FLAIR magnetic resonance.
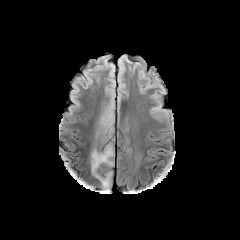
T1-weighted MRI.
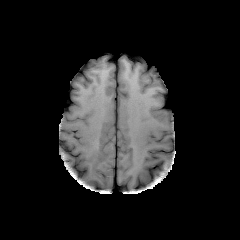
Post-contrast T1-weighted magnetic resonance.
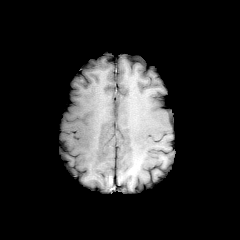
T2-weighted MR image.
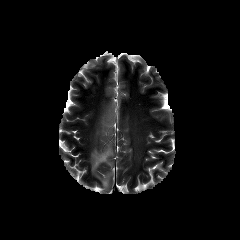
Head, 240x240
peritumoral edema: x1=91, y1=143, x2=113, y2=190; x1=101, y1=115, x2=112, y2=136